FLAIR magnetic resonance.
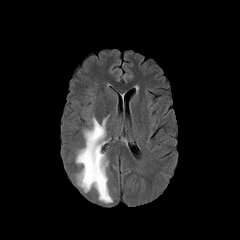
T1-weighted MRI.
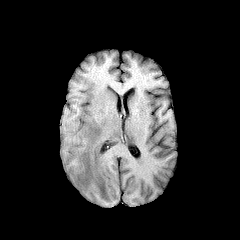
Post-contrast T1-weighted MR.
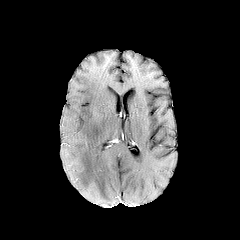
T2-weighted magnetic resonance.
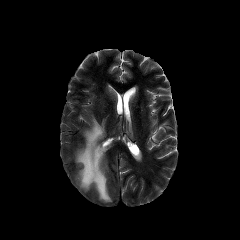
240x240 px, Head
The peritumoral edema is at x1=75 y1=114 x2=112 y2=202.